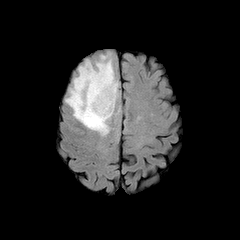
FLAIR MR.
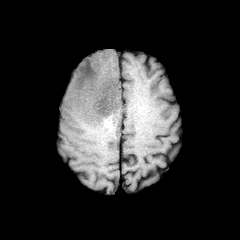
T1-weighted magnetic resonance.
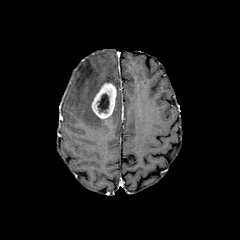
Post-contrast T1-weighted MRI.
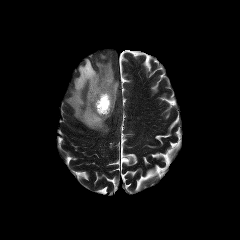
T2-weighted MR of the same slice.
240x240 | Head | Axial view
peritumoral edema at 66 55 118 134
enhancing tumor at 91 83 116 118
necrotic tumor core at 97 94 109 112